FLAIR magnetic resonance.
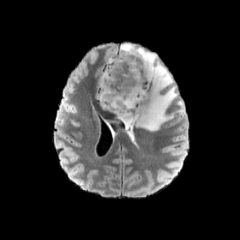
T1-weighted MR.
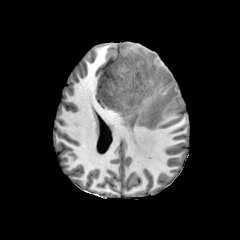
Post-contrast T1-weighted MR image.
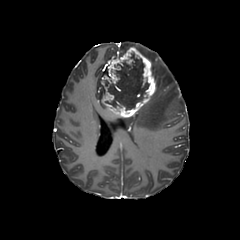
T2-weighted MR.
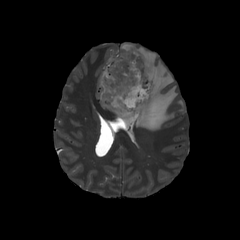
Axial view
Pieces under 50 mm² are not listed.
peritumoral edema: region(122, 47, 177, 133); region(177, 100, 183, 111); region(120, 43, 134, 53)
enhancing tumor: region(101, 47, 156, 117)
necrotic tumor core: region(106, 53, 149, 109)